FLAIR magnetic resonance.
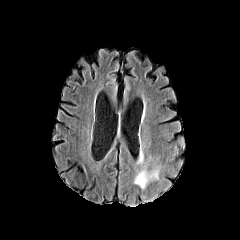
T1-weighted MRI.
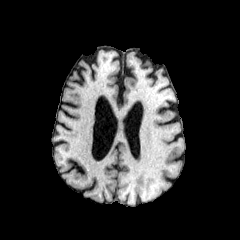
Post-contrast T1-weighted magnetic resonance.
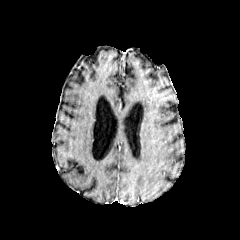
T2-weighted MR image.
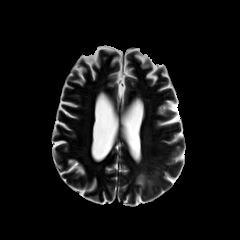
Axial view; Brain
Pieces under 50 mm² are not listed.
peritumoral edema = x1=135, y1=172, x2=146, y2=187